Axial view
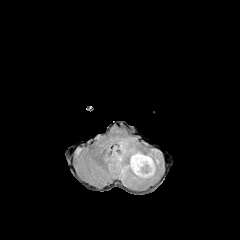
FLAIR magnetic resonance.
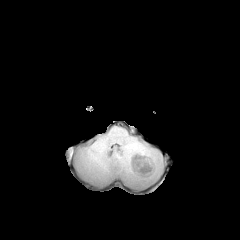
Same slice, T1-weighted MR.
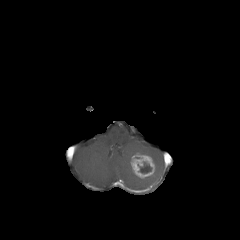
Post-contrast T1-weighted magnetic resonance.
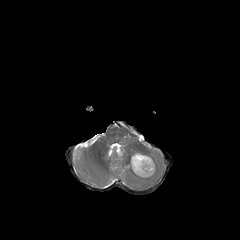
T2-weighted MR.
- necrotic tumor core: <bbox>140, 165, 151, 172</bbox>
- enhancing tumor: <bbox>130, 153, 155, 178</bbox>
- peritumoral edema: <bbox>111, 140, 161, 184</bbox>